Axial slice | Image covers 240 mm x 240 mm | Image size 240x240
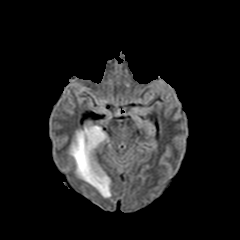
FLAIR MR.
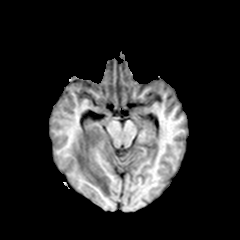
T1-weighted MR.
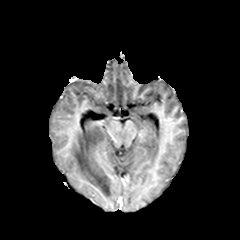
Post-contrast T1-weighted MR of the same slice.
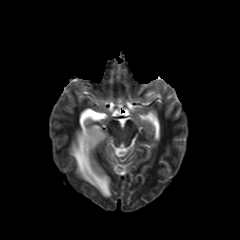
Same slice, T2-weighted MRI.
The peritumoral edema is bounded by (x1=70, y1=125, x2=110, y2=197).